Head; Slice 135/155
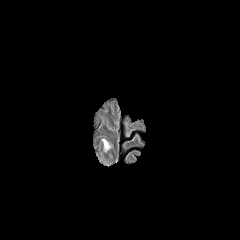
FLAIR MR.
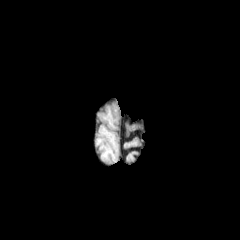
T1-weighted MR image.
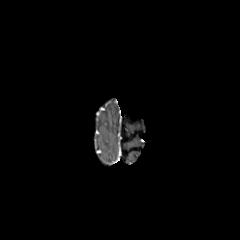
Post-contrast T1-weighted MR of the same slice.
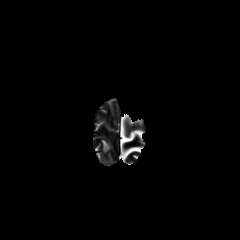
T2-weighted MRI.
The peritumoral edema appears at [102, 139, 110, 150].